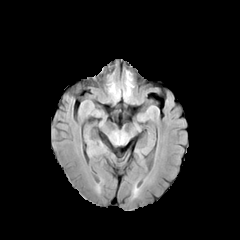
FLAIR MR image.
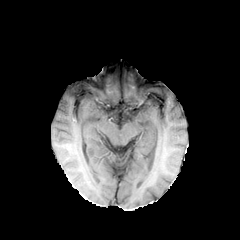
T1-weighted magnetic resonance.
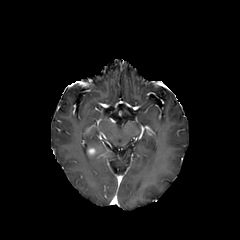
Post-contrast T1-weighted MR image.
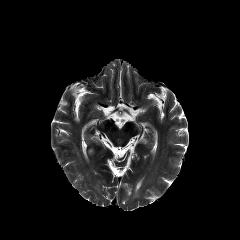
T2-weighted magnetic resonance.
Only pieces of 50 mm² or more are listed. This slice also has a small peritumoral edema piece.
{"enhancing_tumor": ["bbox(88, 147, 95, 155)"]}